Image covers 240 mm x 240 mm, Axial plane, Head
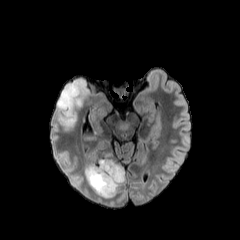
FLAIR MR image.
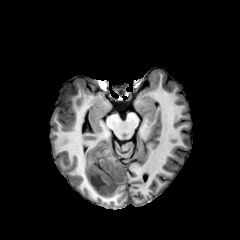
Same slice, T1-weighted MRI.
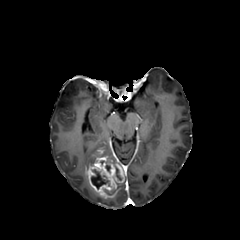
Post-contrast T1-weighted MRI of the same slice.
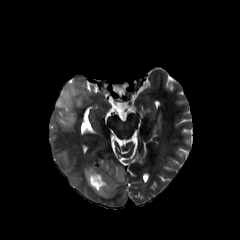
T2-weighted MRI of the same slice.
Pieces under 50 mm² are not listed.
enhancing tumor at box=[85, 156, 125, 198]
necrotic tumor core at box=[91, 169, 109, 189]; box=[113, 163, 121, 180]
peritumoral edema at box=[85, 175, 104, 200]; box=[113, 177, 125, 196]; box=[89, 150, 98, 164]; box=[57, 79, 88, 124]